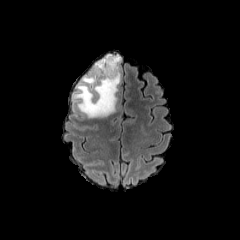
FLAIR MR.
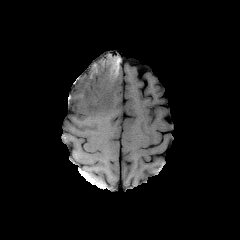
T1-weighted MR of the same slice.
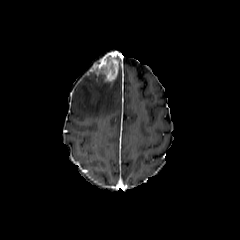
Post-contrast T1-weighted MR.
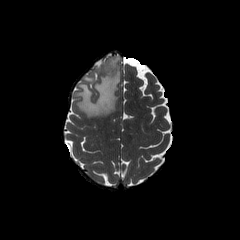
Same slice, T2-weighted MRI.
Head; Axial plane
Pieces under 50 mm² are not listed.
The largest peritumoral edema region lies within 74 65 120 118. The enhancing tumor is at 92 56 118 83.